Axial plane. Brain.
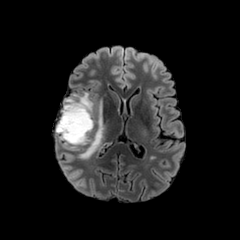
FLAIR magnetic resonance.
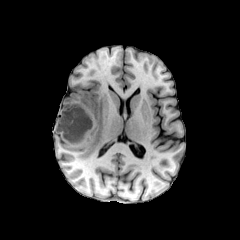
T1-weighted MRI.
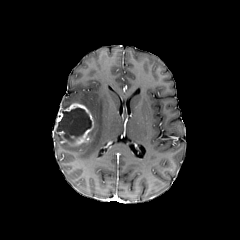
Same slice, post-contrast T1-weighted MR.
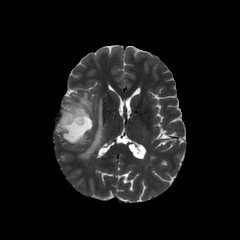
Same slice, T2-weighted MRI.
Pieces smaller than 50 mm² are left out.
{"peritumoral_edema": ["[79,99,103,158]", "[61,92,92,115]"], "necrotic_tumor_core": ["[56,107,91,141]"], "enhancing_tumor": ["[55,103,94,145]"]}